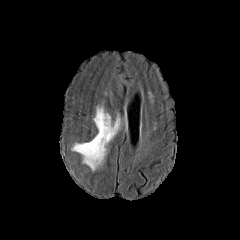
FLAIR MRI.
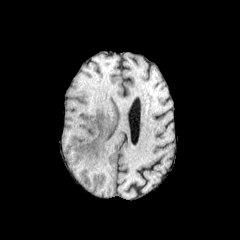
T1-weighted MRI.
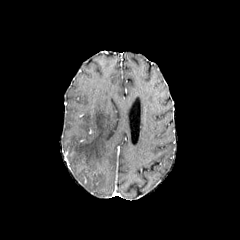
Post-contrast T1-weighted MR image.
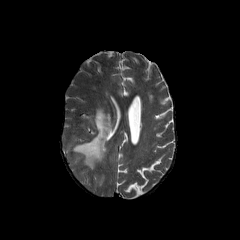
T2-weighted MRI.
240x240
The peritumoral edema is bounded by 71,108,119,170.